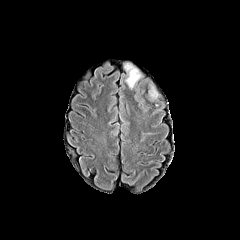
FLAIR MRI.
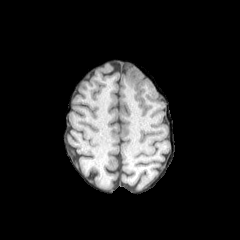
T1-weighted magnetic resonance.
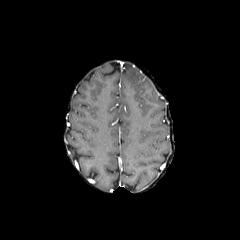
Post-contrast T1-weighted MR image.
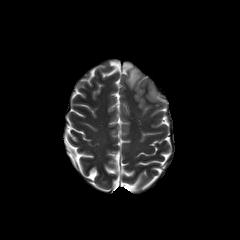
T2-weighted MR of the same slice.
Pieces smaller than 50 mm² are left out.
The largest peritumoral edema region appears at [x1=125, y1=63, x2=140, y2=88].